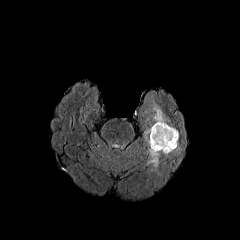
FLAIR magnetic resonance.
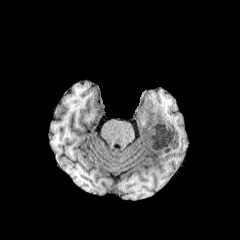
Same slice, T1-weighted MR.
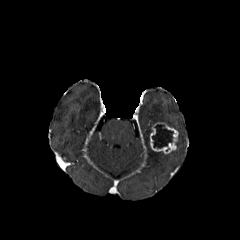
Post-contrast T1-weighted magnetic resonance of the same slice.
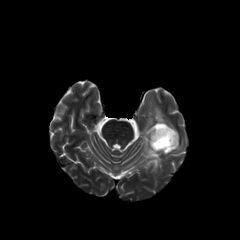
T2-weighted MR of the same slice.
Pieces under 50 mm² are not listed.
The 3 largest peritumoral edema regions are bounded by rect(146, 147, 163, 170); rect(143, 127, 152, 145); rect(152, 103, 170, 123). The largest necrotic tumor core region is bounded by rect(152, 124, 173, 148). The enhancing tumor is located at rect(150, 122, 178, 153).